FLAIR MR image.
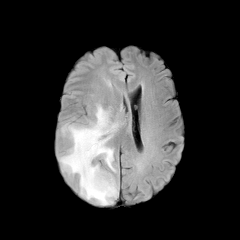
T1-weighted MRI.
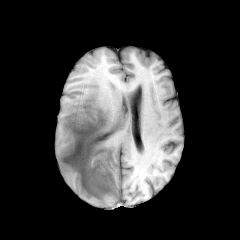
Post-contrast T1-weighted MRI.
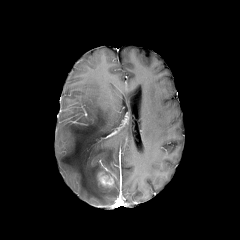
T2-weighted magnetic resonance.
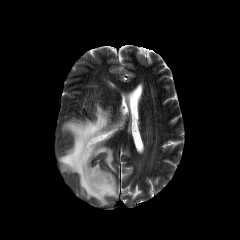
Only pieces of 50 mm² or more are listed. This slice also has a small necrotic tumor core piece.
The peritumoral edema lies within <box>59,103,121,205</box>. The enhancing tumor is at <box>97,170,114,188</box>.